Axial slice
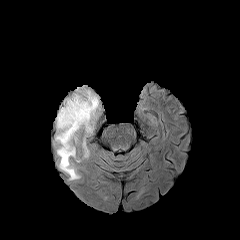
FLAIR magnetic resonance.
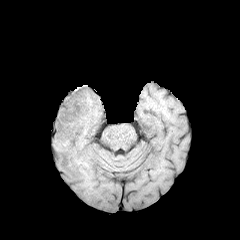
T1-weighted MR image of the same slice.
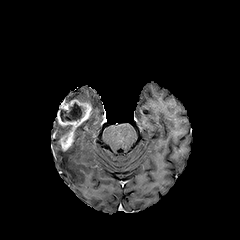
Post-contrast T1-weighted MRI.
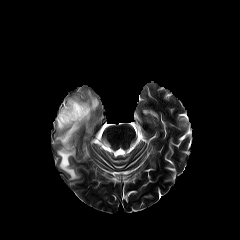
Same slice, T2-weighted magnetic resonance.
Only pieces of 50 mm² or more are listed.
necrotic tumor core: (left=60, top=103, right=82, bottom=121) | enhancing tumor: (left=57, top=99, right=91, bottom=151) | peritumoral edema: (left=65, top=90, right=99, bottom=142), (left=83, top=137, right=89, bottom=157), (left=55, top=118, right=71, bottom=144), (left=57, top=144, right=79, bottom=180)